Axial plane | Slice 81 of 155
FLAIR magnetic resonance.
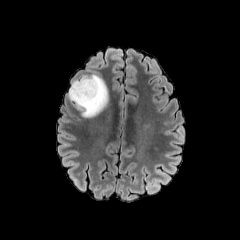
T1-weighted MR.
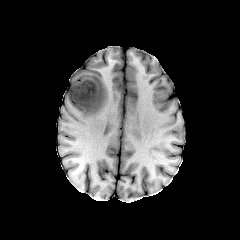
Post-contrast T1-weighted MR.
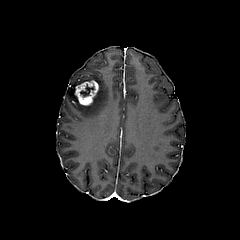
T2-weighted MR.
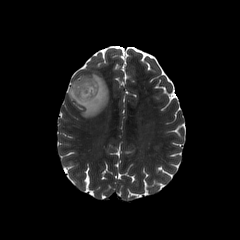
enhancing_tumor:
  - box(75, 80, 98, 105)
necrotic_tumor_core:
  - box(80, 84, 93, 96)
peritumoral_edema:
  - box(67, 74, 108, 118)